FLAIR MR.
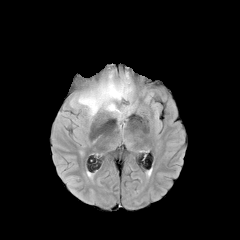
T1-weighted MR image.
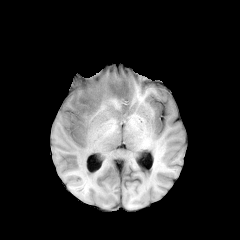
Post-contrast T1-weighted MR.
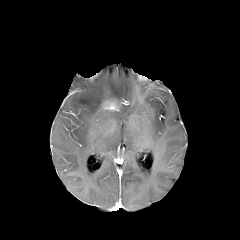
T2-weighted MR image.
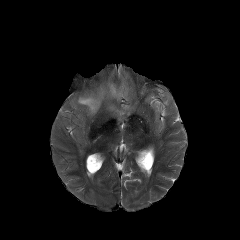
Axial plane
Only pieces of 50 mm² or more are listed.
{"enhancing_tumor": ["box=[104, 102, 117, 110]"], "peritumoral_edema": ["box=[70, 67, 131, 117]"]}